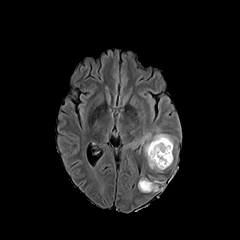
FLAIR MR.
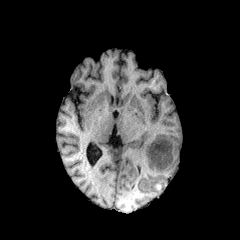
Same slice, T1-weighted MR.
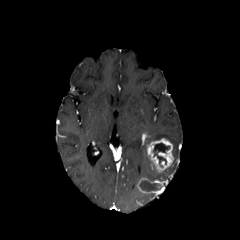
Same slice, post-contrast T1-weighted MR image.
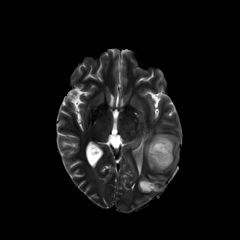
T2-weighted MRI.
Axial slice; Head
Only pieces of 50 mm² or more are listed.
3 necrotic tumor core regions are located at <box>154,153,166,164</box>, <box>139,180,158,191</box>, <box>153,143,169,152</box>. The largest peritumoral edema region lies within <box>144,128,176,169</box>. The 2 largest enhancing tumor regions are bounded by <box>137,177,160,193</box>, <box>147,138,173,172</box>.